FLAIR MRI.
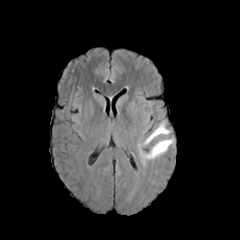
T1-weighted MR.
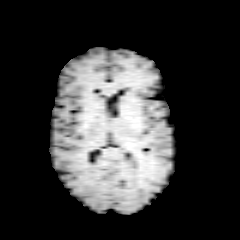
Post-contrast T1-weighted MR image.
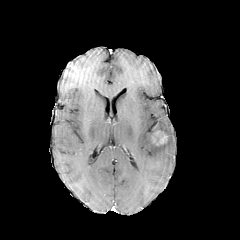
T2-weighted MR image.
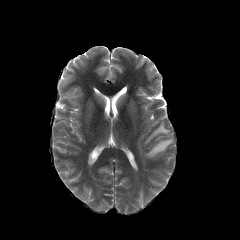
Axial plane | 240x240
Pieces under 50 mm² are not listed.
<segmentation>
  <peritumoral_edema>(138, 121, 173, 163)</peritumoral_edema>
  <enhancing_tumor>(156, 135, 166, 145)</enhancing_tumor>
</segmentation>